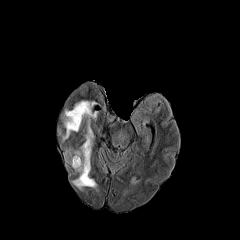
FLAIR magnetic resonance.
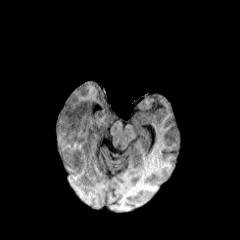
T1-weighted MRI.
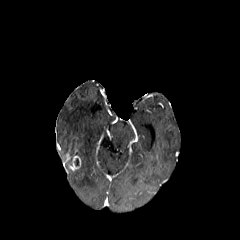
Post-contrast T1-weighted MRI.
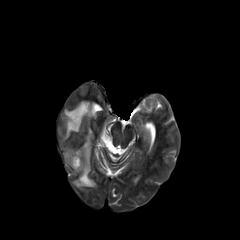
T2-weighted magnetic resonance.
Brain
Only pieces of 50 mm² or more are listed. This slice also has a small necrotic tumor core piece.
enhancing tumor: l=72, t=156, r=81, b=169
peritumoral edema: l=73, t=120, r=96, b=188; l=129, t=176, r=139, b=184; l=63, t=100, r=97, b=140